240x240, Brain
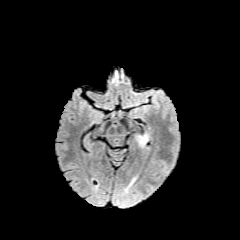
FLAIR MR.
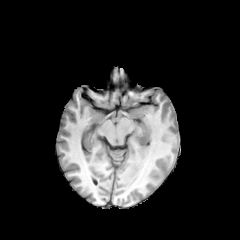
T1-weighted MR image of the same slice.
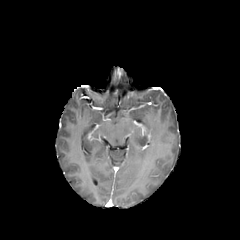
Same slice, post-contrast T1-weighted MR image.
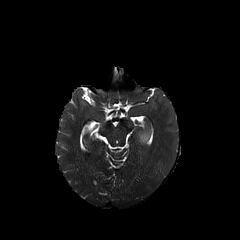
T2-weighted MRI.
The peritumoral edema is bounded by l=137, t=135, r=147, b=146.